Brain | Image covers 240 mm x 240 mm | Slice 89 of 155 | Image size 240x240
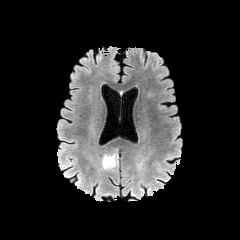
FLAIR magnetic resonance.
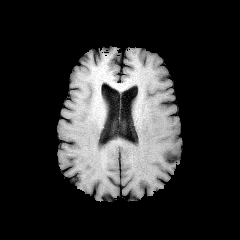
T1-weighted MRI of the same slice.
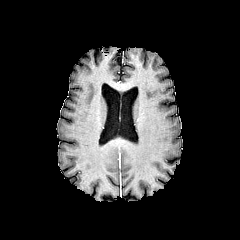
Post-contrast T1-weighted MR image.
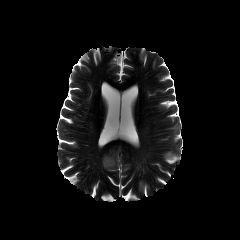
T2-weighted MR.
peritumoral_edema:
  - bbox(102, 151, 117, 170)